Image size 240x240
FLAIR MRI.
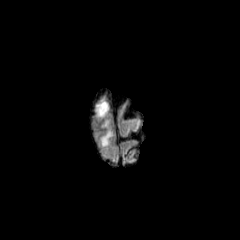
T1-weighted MR image.
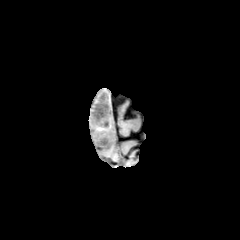
Post-contrast T1-weighted MRI.
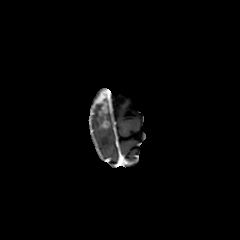
T2-weighted magnetic resonance.
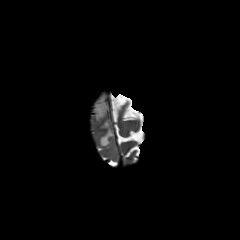
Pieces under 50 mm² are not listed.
{"enhancing_tumor": ["bbox=[97, 97, 107, 115]"], "peritumoral_edema": ["bbox=[94, 98, 113, 147]"]}